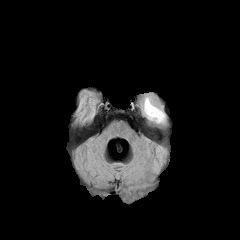
FLAIR magnetic resonance.
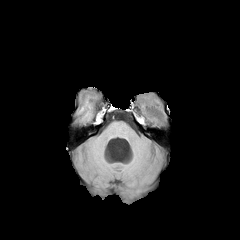
T1-weighted magnetic resonance.
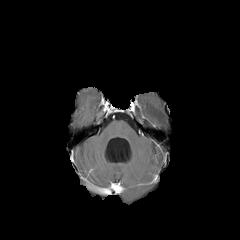
Post-contrast T1-weighted magnetic resonance.
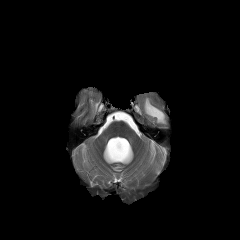
T2-weighted MR.
Brain
The peritumoral edema appears at 144 97 165 123.